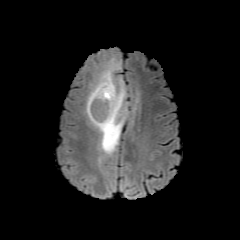
FLAIR MR.
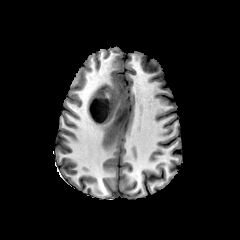
T1-weighted MRI.
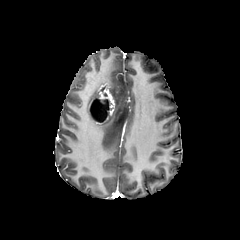
Post-contrast T1-weighted MRI.
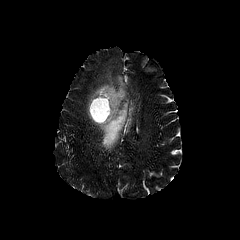
T2-weighted MR.
240x240 px; Axial view
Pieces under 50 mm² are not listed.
- enhancing tumor: l=88, t=85, r=114, b=123
- necrotic tumor core: l=90, t=98, r=112, b=122
- peritumoral edema: l=86, t=60, r=127, b=154